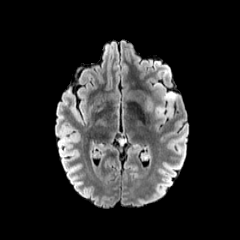
FLAIR MR.
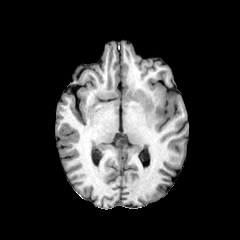
T1-weighted MRI of the same slice.
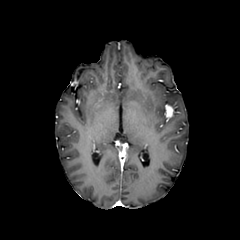
Post-contrast T1-weighted MRI.
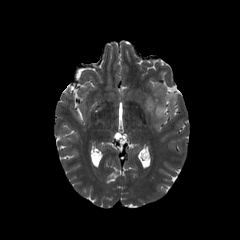
Same slice, T2-weighted MRI.
Brain
peritumoral edema: (left=163, top=92, right=177, bottom=105), (left=155, top=106, right=167, bottom=120) | enhancing tumor: (left=165, top=105, right=173, bottom=118)